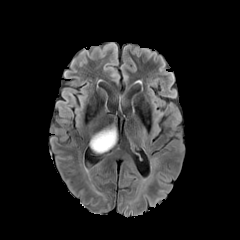
FLAIR MRI.
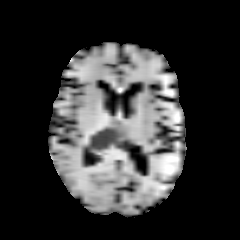
T1-weighted MRI of the same slice.
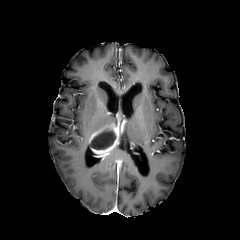
Post-contrast T1-weighted MR.
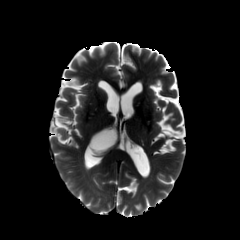
T2-weighted MR image.
Axial slice
<segmentation>
  <necrotic_tumor_core>l=92, t=132, r=115, b=149</necrotic_tumor_core>
  <enhancing_tumor>l=89, t=123, r=118, b=157</enhancing_tumor>
</segmentation>